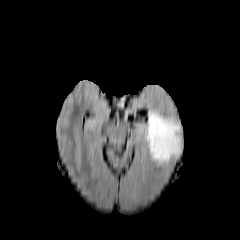
FLAIR MR image.
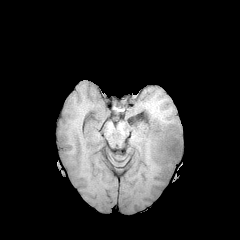
T1-weighted magnetic resonance.
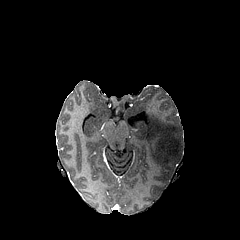
Post-contrast T1-weighted MR image of the same slice.
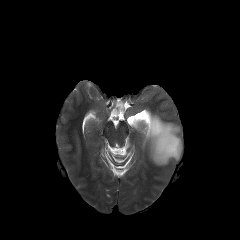
T2-weighted MR image of the same slice.
Head
peritumoral edema = rect(140, 110, 181, 165)